Axial plane
FLAIR magnetic resonance.
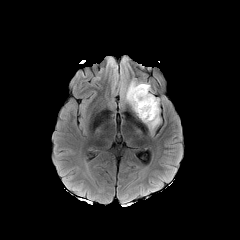
T1-weighted MRI.
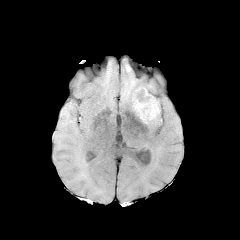
Post-contrast T1-weighted MR.
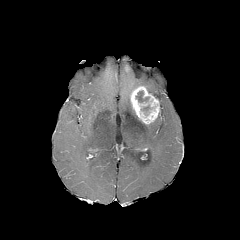
T2-weighted MR.
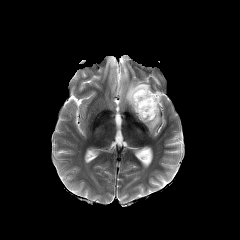
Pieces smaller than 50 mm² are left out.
<segmentation>
  <enhancing_tumor>130,86,159,124</enhancing_tumor>
  <necrotic_tumor_core>141,104,154,115; 135,90,149,103</necrotic_tumor_core>
  <peritumoral_edema>120,81,151,106; 148,110,160,131</peritumoral_edema>
</segmentation>